FLAIR MR image.
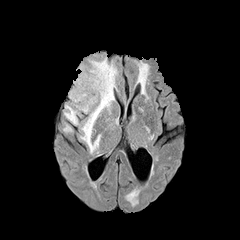
T1-weighted MR image.
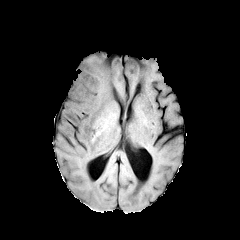
Post-contrast T1-weighted MR image.
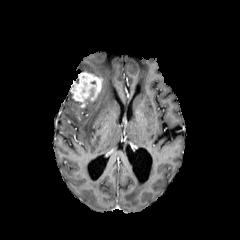
T2-weighted MR image.
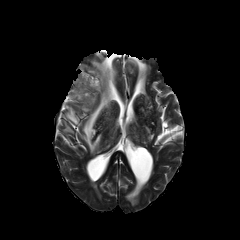
240x240
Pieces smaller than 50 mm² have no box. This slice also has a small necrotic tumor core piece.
enhancing tumor — 70, 71, 102, 107
peritumoral edema — 64, 105, 80, 125; 80, 57, 117, 153; 76, 98, 97, 112; 63, 124, 72, 131